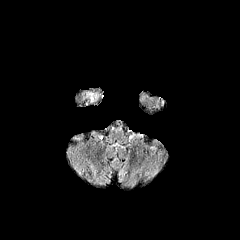
FLAIR MRI.
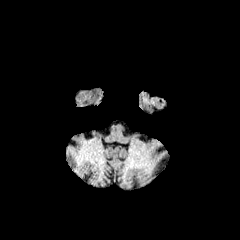
T1-weighted MRI of the same slice.
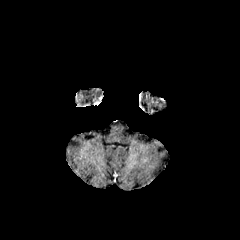
Post-contrast T1-weighted MR of the same slice.
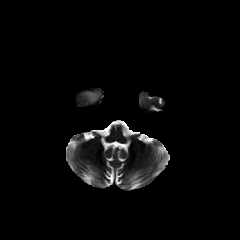
Same slice, T2-weighted MR image.
Head
Segmented structures:
* peritumoral edema: 86 92 97 101